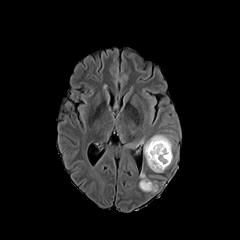
FLAIR MRI.
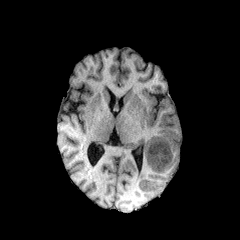
Same slice, T1-weighted MR.
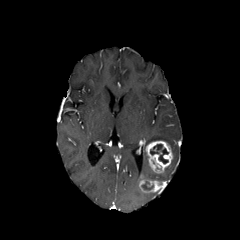
Post-contrast T1-weighted magnetic resonance.
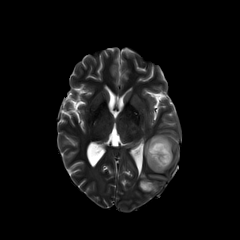
T2-weighted magnetic resonance.
240x240 px
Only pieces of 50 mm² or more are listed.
The largest peritumoral edema region lies within bbox(144, 134, 172, 165). 2 necrotic tumor core regions are located at bbox(142, 181, 153, 190); bbox(150, 144, 168, 163). The 2 largest enhancing tumor regions are located at bbox(145, 140, 172, 173); bbox(139, 175, 160, 192).